Axial view. Slice 61/155.
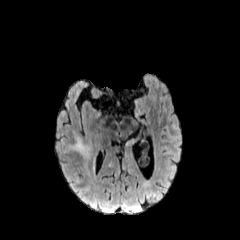
FLAIR magnetic resonance.
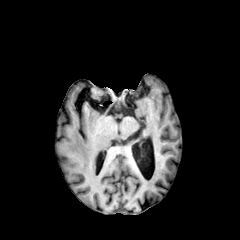
T1-weighted MRI of the same slice.
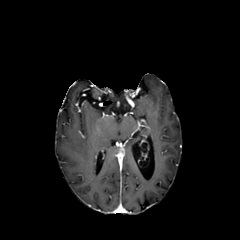
Post-contrast T1-weighted MR of the same slice.
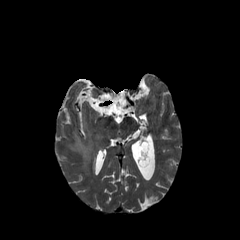
T2-weighted MR image.
The peritumoral edema is bounded by <box>69,135,92,175</box>.